240x240 px | Slice 30/155 | Image width 240 mm, 1.00 mm slice spacing
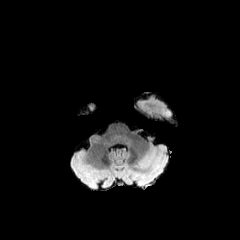
FLAIR MR.
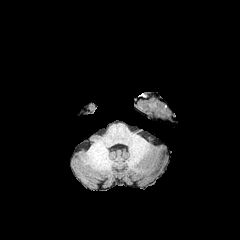
T1-weighted MRI of the same slice.
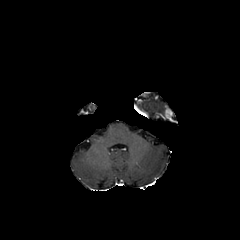
Post-contrast T1-weighted MRI of the same slice.
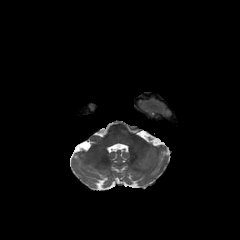
Same slice, T2-weighted MRI.
Segmented structures:
• enhancing tumor: bbox(164, 109, 172, 118)